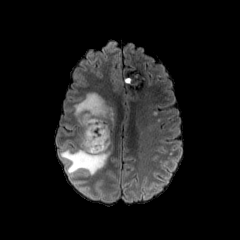
FLAIR MR image.
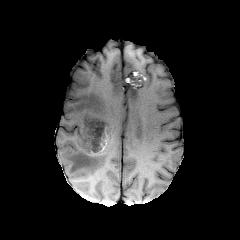
T1-weighted magnetic resonance of the same slice.
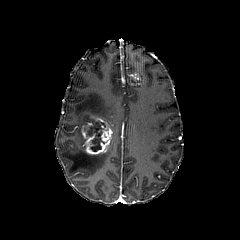
Post-contrast T1-weighted MR.
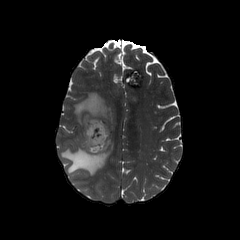
T2-weighted magnetic resonance of the same slice.
Brain. Axial view.
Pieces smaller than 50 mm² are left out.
peritumoral edema: (left=60, top=92, right=119, bottom=175) | enhancing tumor: (left=82, top=116, right=112, bottom=154) | necrotic tumor core: (left=85, top=120, right=105, bottom=151)